Slice index 89; Head; Axial slice
FLAIR magnetic resonance.
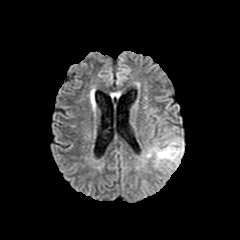
T1-weighted MR.
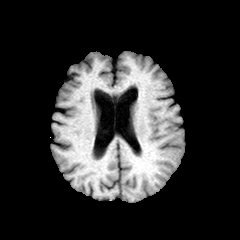
Post-contrast T1-weighted magnetic resonance.
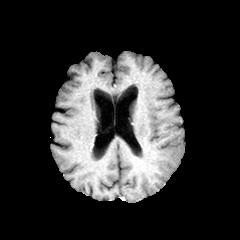
T2-weighted MR image.
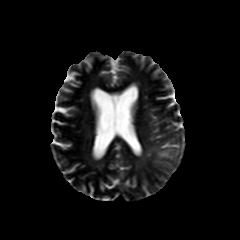
Findings:
* peritumoral edema: box=[147, 138, 183, 168]